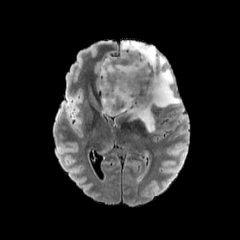
FLAIR MR image.
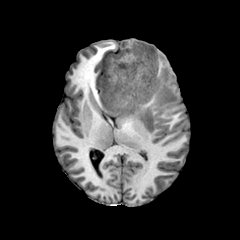
T1-weighted magnetic resonance.
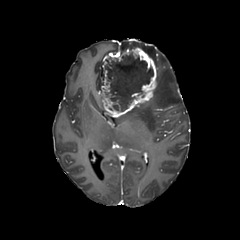
Post-contrast T1-weighted MR.
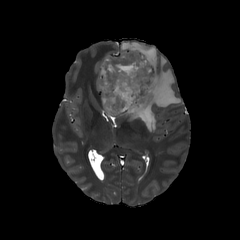
Same slice, T2-weighted MR.
Head; 240x240 px
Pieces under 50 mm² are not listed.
The largest peritumoral edema region is bounded by bbox(121, 41, 180, 132). The largest necrotic tumor core region lies within bbox(105, 54, 153, 111). The enhancing tumor is bounded by bbox(101, 47, 156, 117).